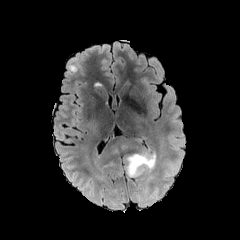
FLAIR MR.
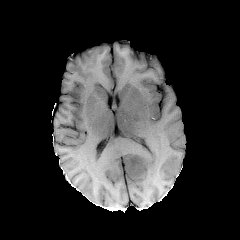
T1-weighted MR.
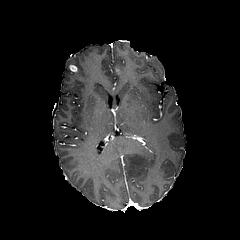
Post-contrast T1-weighted MRI.
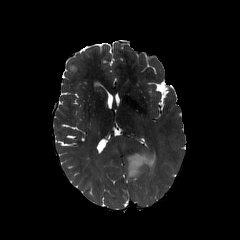
Same slice, T2-weighted MR image.
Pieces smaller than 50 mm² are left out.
enhancing_tumor:
  - x1=69 y1=65 x2=77 y2=72
peritumoral_edema:
  - x1=126 y1=152 x2=156 y2=179